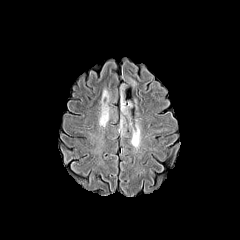
FLAIR MR image.
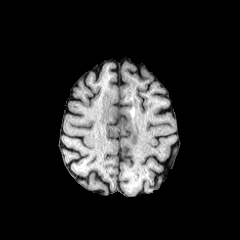
T1-weighted MRI of the same slice.
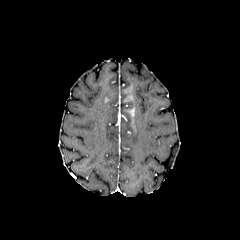
Same slice, post-contrast T1-weighted MRI.
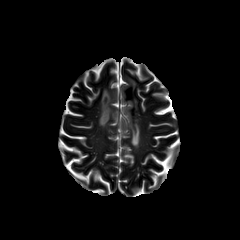
T2-weighted MR image of the same slice.
Axial slice; 240x240 px; Brain
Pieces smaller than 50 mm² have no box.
* peritumoral edema: <box>120,74,140,149</box>, <box>99,89,116,127</box>, <box>119,116,126,128</box>